Slice 106/155, Head, Axial slice, Image width 240 mm, 1.00 mm slice spacing, Image size 240x240
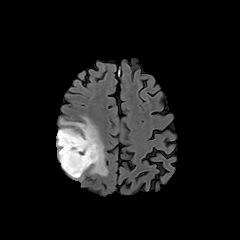
FLAIR MR image.
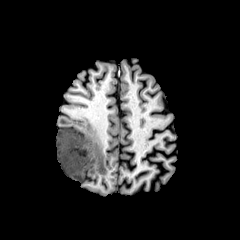
T1-weighted MRI.
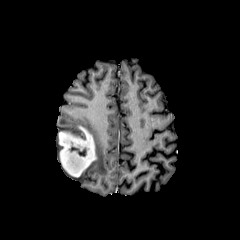
Post-contrast T1-weighted magnetic resonance.
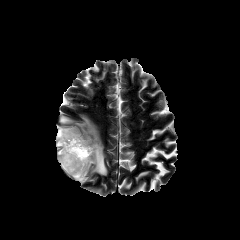
T2-weighted MR of the same slice.
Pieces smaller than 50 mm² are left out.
necrotic tumor core at bbox(70, 146, 86, 156)
enhancing tumor at bbox(58, 126, 96, 177)
peritumoral edema at bbox(56, 116, 107, 180)